Image width 240 mm, 1.00 mm slice spacing | Head | Slice 90 of 155
FLAIR magnetic resonance.
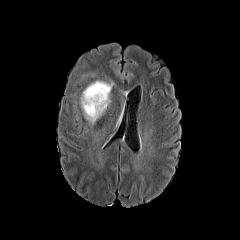
T1-weighted MR.
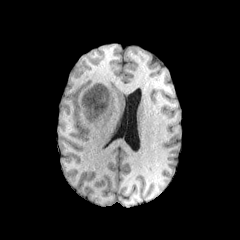
Post-contrast T1-weighted magnetic resonance.
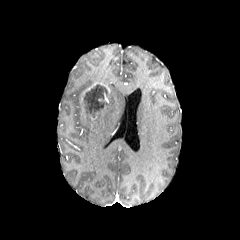
T2-weighted MR image.
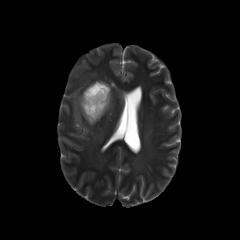
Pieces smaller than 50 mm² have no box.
peritumoral edema: (79, 92, 110, 124)
necrotic tumor core: (83, 84, 107, 117)
enhancing tumor: (82, 82, 110, 96)